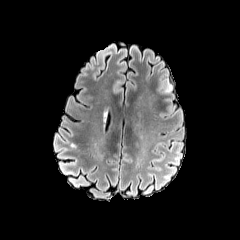
FLAIR magnetic resonance.
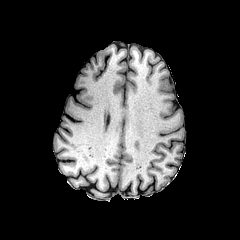
T1-weighted MR of the same slice.
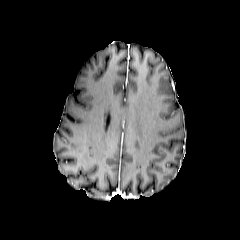
Same slice, post-contrast T1-weighted magnetic resonance.
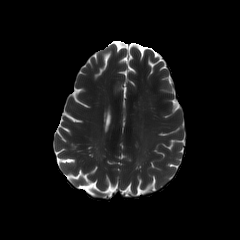
T2-weighted MR image of the same slice.
Brain.
peritumoral edema = {"x1": 157, "y1": 75, "x2": 179, "y2": 118}